Image width 240 mm, 1.00 mm slice spacing; Slice 94/155
FLAIR magnetic resonance.
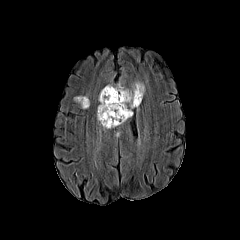
T1-weighted MRI.
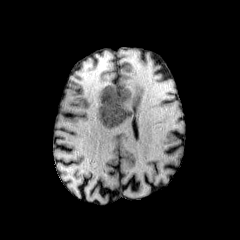
Post-contrast T1-weighted MR image.
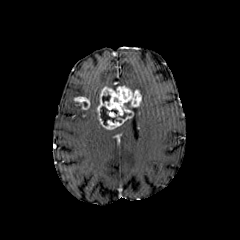
T2-weighted magnetic resonance.
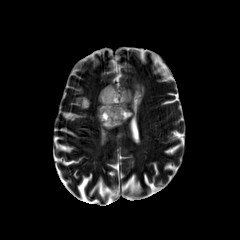
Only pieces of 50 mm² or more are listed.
enhancing tumor: x1=97, y1=86, x2=141, y2=129; x1=74, y1=96, x2=89, y2=109
peritumoral edema: x1=132, y1=81, x2=144, y2=95
necrotic tumor core: x1=102, y1=94, x2=110, y2=102; x1=100, y1=106, x2=121, y2=125